FLAIR magnetic resonance.
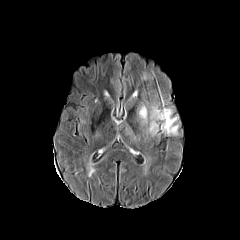
T1-weighted MR image.
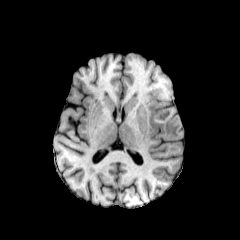
Post-contrast T1-weighted MR image.
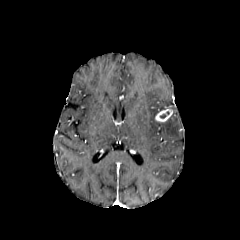
T2-weighted MR image.
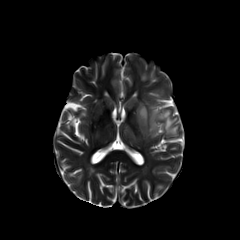
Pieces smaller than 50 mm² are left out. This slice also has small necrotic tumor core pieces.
Findings:
* enhancing tumor: (x1=155, y1=109, x2=172, y2=122)
* peritumoral edema: (x1=161, y1=117, x2=178, y2=135), (x1=139, y1=105, x2=147, y2=124), (x1=147, y1=107, x2=159, y2=135)